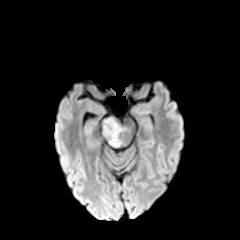
FLAIR MR image.
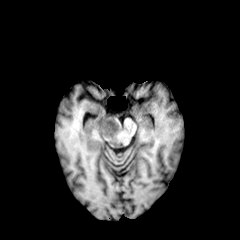
T1-weighted MR.
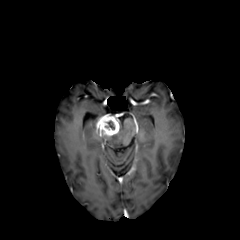
Same slice, post-contrast T1-weighted MRI.
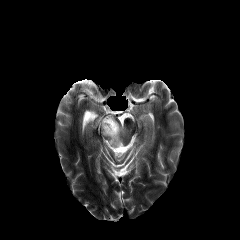
Same slice, T2-weighted MR image.
Axial slice, Head, Image size 240x240
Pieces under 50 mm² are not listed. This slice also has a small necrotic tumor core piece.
The enhancing tumor is bounded by <box>95,115,119,136</box>. The peritumoral edema appears at <box>105,126,123,146</box>.